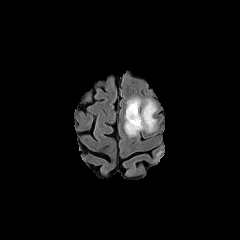
FLAIR MR image.
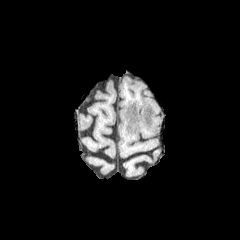
T1-weighted MRI.
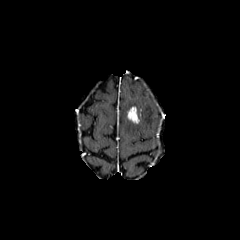
Post-contrast T1-weighted MR image of the same slice.
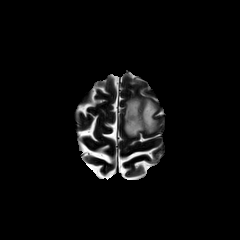
T2-weighted MR image.
Axial plane. Image size 240x240.
The peritumoral edema lies within box(124, 98, 156, 136). The enhancing tumor is at box(127, 106, 139, 123).